240x240. Head.
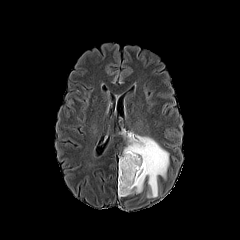
FLAIR MRI.
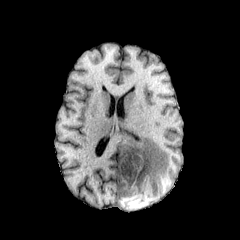
T1-weighted MR.
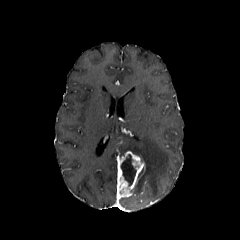
Post-contrast T1-weighted magnetic resonance.
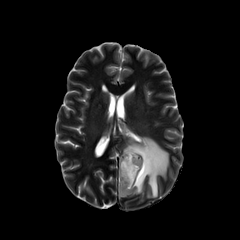
Same slice, T2-weighted MRI.
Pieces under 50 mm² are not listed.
The largest necrotic tumor core region lies within (left=121, top=154, right=136, bottom=186). The enhancing tumor lies within (left=117, top=151, right=145, bottom=198). The peritumoral edema appears at (left=123, top=135, right=169, bottom=197).